Slice index 72, Axial plane, Head, Image size 240x240
FLAIR MR image.
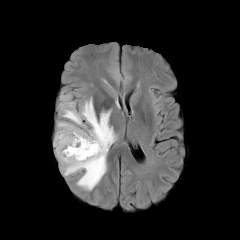
T1-weighted magnetic resonance.
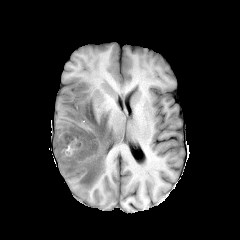
Post-contrast T1-weighted magnetic resonance.
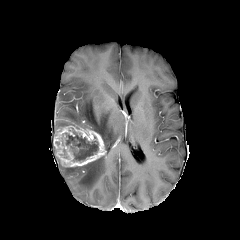
T2-weighted MRI.
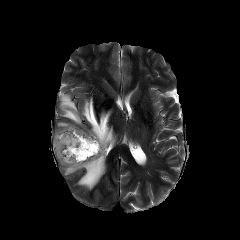
2 peritumoral edema regions are bounded by region(61, 153, 106, 190); region(57, 94, 116, 150). The enhancing tumor appears at region(53, 125, 106, 167). The necrotic tumor core is at region(66, 137, 98, 159).